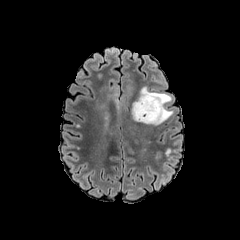
FLAIR magnetic resonance.
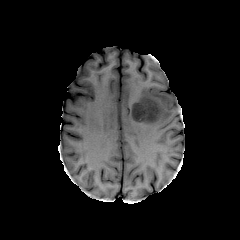
Same slice, T1-weighted magnetic resonance.
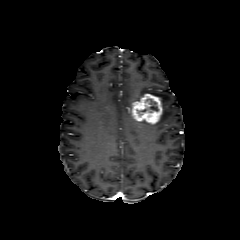
Post-contrast T1-weighted magnetic resonance.
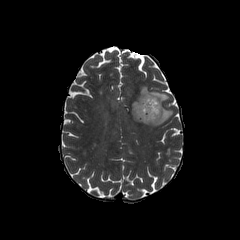
Same slice, T2-weighted MR image.
Axial plane. 240x240 px.
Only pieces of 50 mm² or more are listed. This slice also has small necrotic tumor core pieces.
peritumoral_edema:
  - (x1=136, y1=86, x2=173, y2=125)
enhancing_tumor:
  - (x1=131, y1=94, x2=163, y2=123)